FLAIR MRI.
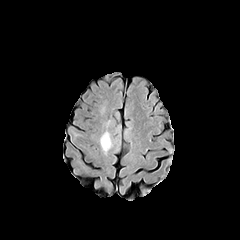
T1-weighted MR image.
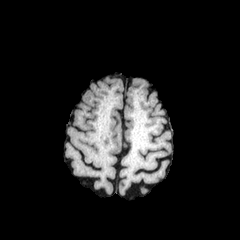
Post-contrast T1-weighted magnetic resonance.
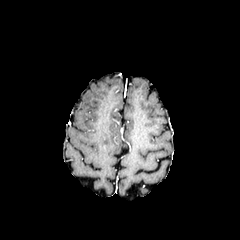
T2-weighted MR.
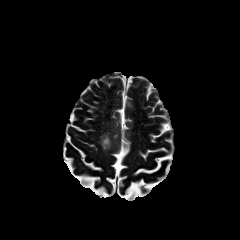
Axial plane
peritumoral_edema:
  - rect(100, 131, 113, 154)